FLAIR magnetic resonance.
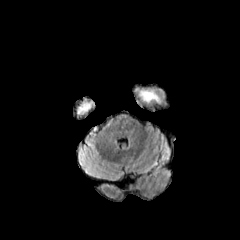
T1-weighted MRI.
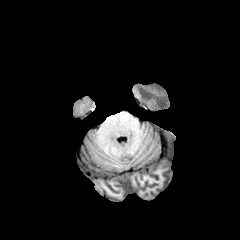
Post-contrast T1-weighted MR image.
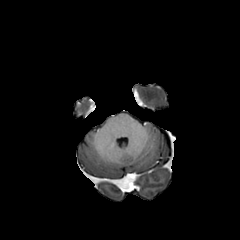
T2-weighted MR.
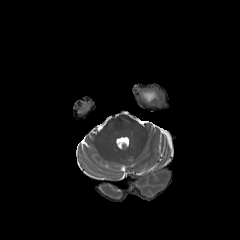
Axial view
- peritumoral edema: box(139, 90, 160, 102)